FLAIR magnetic resonance.
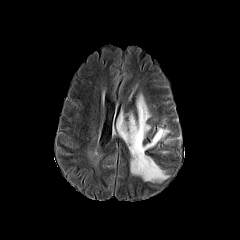
T1-weighted magnetic resonance.
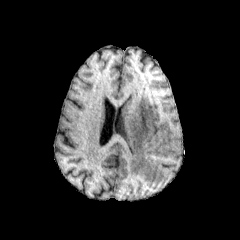
Post-contrast T1-weighted magnetic resonance.
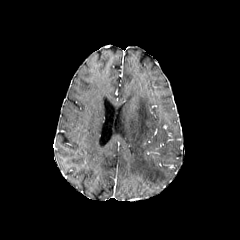
T2-weighted MR.
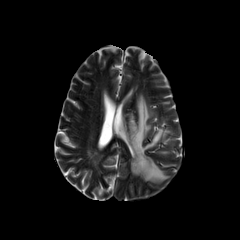
Image size 240x240
The peritumoral edema is bounded by (left=116, top=95, right=168, bottom=182).